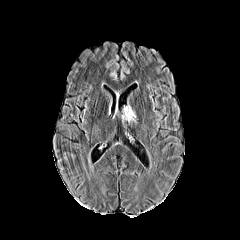
FLAIR MR.
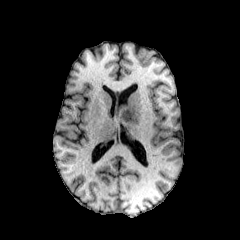
T1-weighted MRI of the same slice.
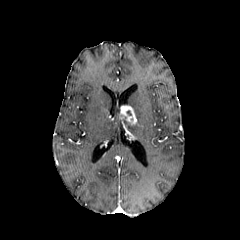
Post-contrast T1-weighted MRI.
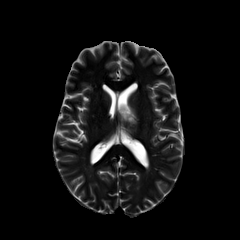
T2-weighted MRI.
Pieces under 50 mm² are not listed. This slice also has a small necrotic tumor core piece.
The enhancing tumor lies within (x1=120, y1=105, x2=136, y2=124).